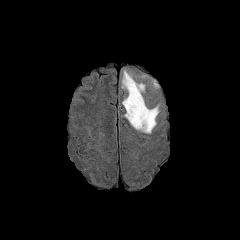
FLAIR MR.
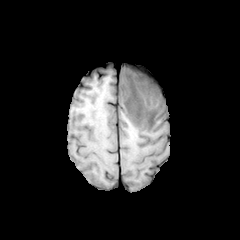
T1-weighted magnetic resonance of the same slice.
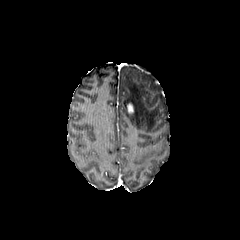
Post-contrast T1-weighted magnetic resonance.
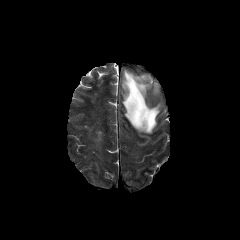
T2-weighted MR of the same slice.
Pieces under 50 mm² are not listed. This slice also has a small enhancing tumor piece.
peritumoral edema at box(122, 70, 159, 133)